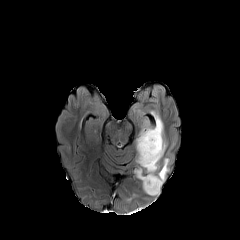
FLAIR magnetic resonance.
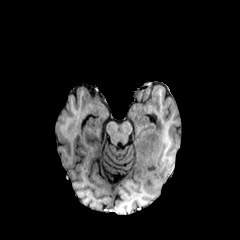
T1-weighted MR.
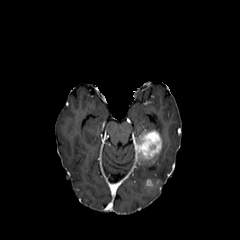
Post-contrast T1-weighted MR image of the same slice.
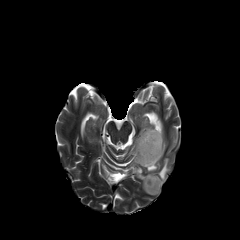
Same slice, T2-weighted MRI.
Brain | Axial slice
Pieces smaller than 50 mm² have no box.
Annotated regions:
* peritumoral edema: [136,115,168,195]
* enhancing tumor: [137,129,162,164], [145,179,160,188]